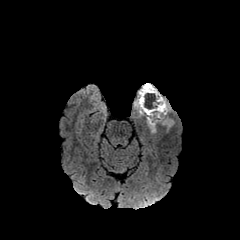
FLAIR MR.
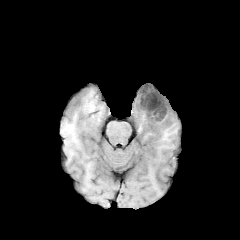
Same slice, T1-weighted MR.
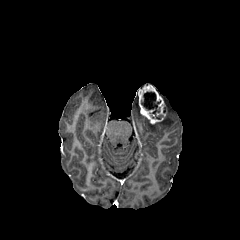
Same slice, post-contrast T1-weighted MR image.
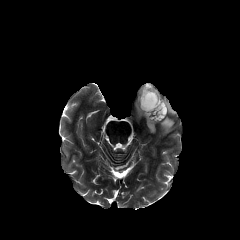
T2-weighted magnetic resonance of the same slice.
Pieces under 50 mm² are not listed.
enhancing_tumor:
  - left=138, top=84, right=166, bottom=123
peritumoral_edema:
  - left=134, top=96, right=141, bottom=117
  - left=146, top=118, right=156, bottom=133
  - left=158, top=96, right=175, bottom=132
necrotic_tumor_core:
  - left=144, top=92, right=156, bottom=114